FLAIR MRI.
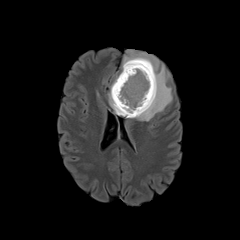
T1-weighted MR.
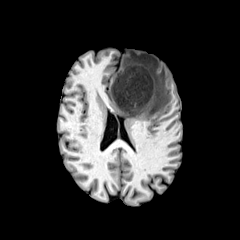
Post-contrast T1-weighted MR.
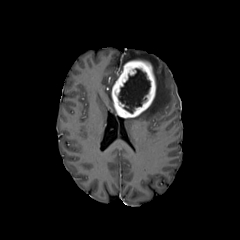
T2-weighted MR.
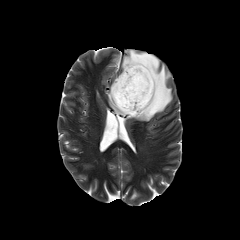
necrotic tumor core at x1=118 y1=68 x2=150 y2=113
enhancing tumor at x1=111 y1=60 x2=156 y2=117
peritumoral edema at x1=122 y1=49 x2=172 y2=121, x1=108 y1=76 x2=118 y2=113